Slice 108 of 155, Head, Image width 240 mm
FLAIR MRI.
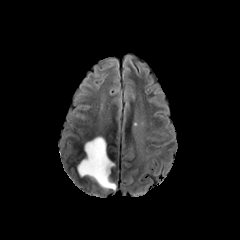
T1-weighted magnetic resonance.
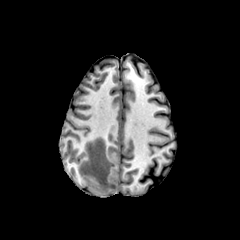
Post-contrast T1-weighted MRI.
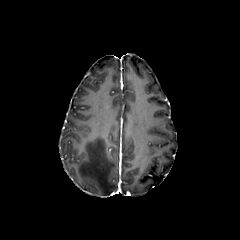
T2-weighted MR.
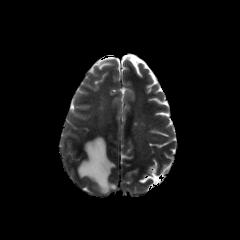
Findings:
* peritumoral edema: (78, 137, 116, 192)